Brain, Slice index 113
FLAIR magnetic resonance.
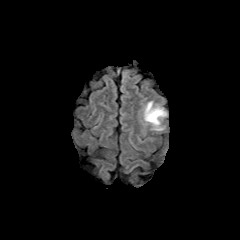
T1-weighted magnetic resonance.
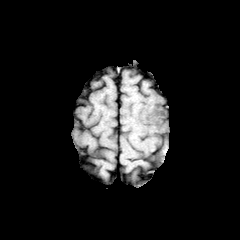
Post-contrast T1-weighted MR.
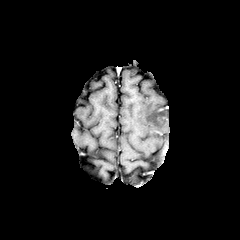
T2-weighted magnetic resonance.
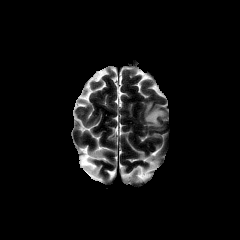
Segmented structures:
• peritumoral edema: box(144, 101, 166, 130)